FLAIR MRI.
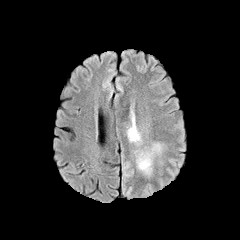
T1-weighted MR.
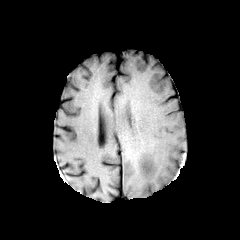
Post-contrast T1-weighted magnetic resonance.
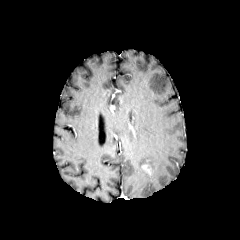
T2-weighted MR.
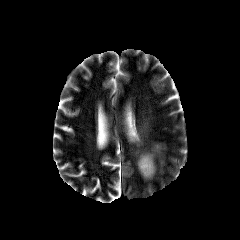
Axial slice | Brain | 240x240
peritumoral edema: <bbox>127, 126, 139, 142</bbox>, <bbox>137, 144, 160, 176</bbox> | enhancing tumor: <bbox>142, 164, 151, 174</bbox>